FLAIR MR.
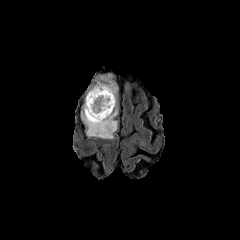
T1-weighted magnetic resonance.
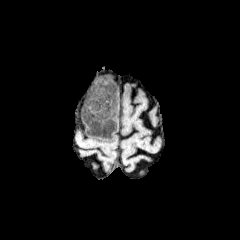
Post-contrast T1-weighted magnetic resonance.
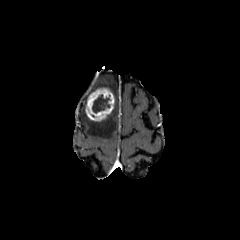
T2-weighted MR image.
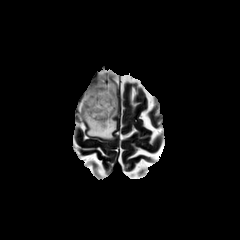
Head
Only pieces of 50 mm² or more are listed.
peritumoral edema: {"x1": 81, "y1": 75, "x2": 117, "y2": 139} | necrotic tumor core: {"x1": 92, "y1": 94, "x2": 109, "y2": 113} | enhancing tumor: {"x1": 85, "y1": 87, "x2": 114, "y2": 121}